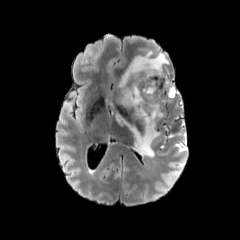
FLAIR magnetic resonance.
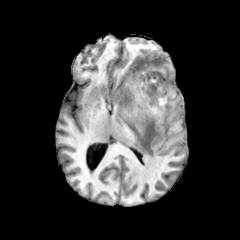
T1-weighted MR image.
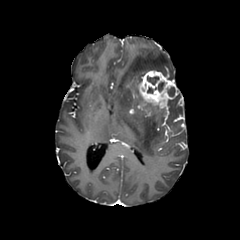
Post-contrast T1-weighted magnetic resonance.
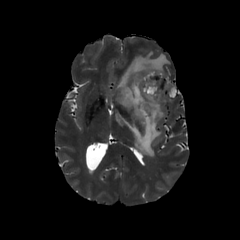
Same slice, T2-weighted MR image.
Axial slice | Image size 240x240 | Head
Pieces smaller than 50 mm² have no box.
* necrotic tumor core: [167,87,175,96], [158,82,164,91], [147,76,158,84]
* peritumoral edema: [116,50,169,157]
* enhancing tumor: [137,70,178,108]